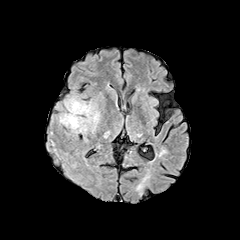
FLAIR MR image.
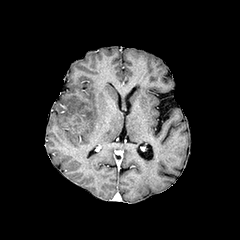
T1-weighted MR of the same slice.
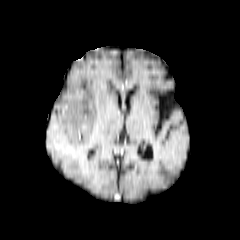
Post-contrast T1-weighted MRI.
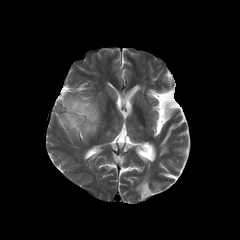
T2-weighted MR.
Head
The peritumoral edema is bounded by l=58, t=95, r=100, b=139.